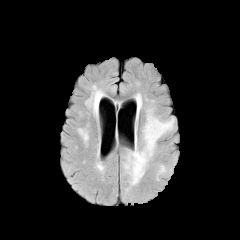
FLAIR MR.
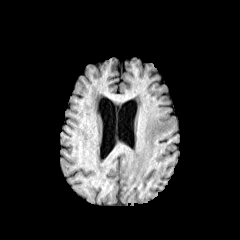
T1-weighted MR of the same slice.
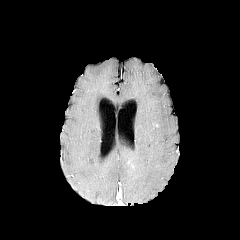
Post-contrast T1-weighted MR.
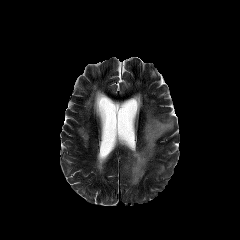
T2-weighted MR image.
Head
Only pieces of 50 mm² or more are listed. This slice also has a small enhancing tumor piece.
* peritumoral edema: (left=136, top=94, right=141, bottom=118), (left=158, top=165, right=165, bottom=174), (left=124, top=109, right=174, bottom=185)